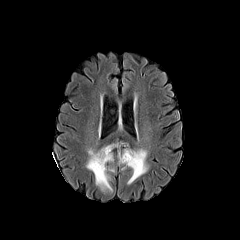
FLAIR MRI.
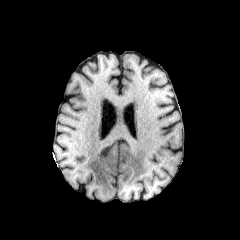
Same slice, T1-weighted magnetic resonance.
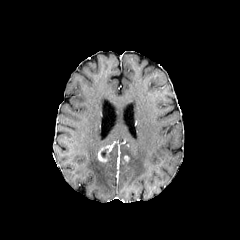
Post-contrast T1-weighted MRI of the same slice.
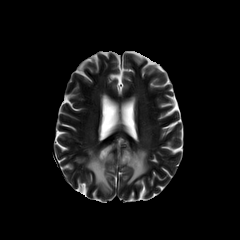
Same slice, T2-weighted MR.
240x240.
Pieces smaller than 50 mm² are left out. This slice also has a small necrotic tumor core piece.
The largest enhancing tumor region is located at rect(97, 145, 111, 162). The 2 largest peritumoral edema regions are bounded by rect(120, 148, 148, 184); rect(86, 149, 114, 191).